Brain. 240x240. Image covers 240 mm x 240 mm.
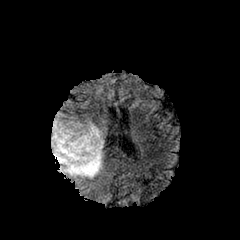
FLAIR MR image.
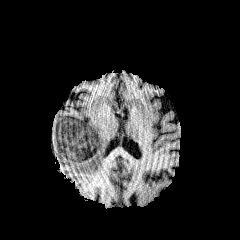
T1-weighted MR image.
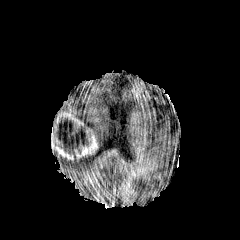
Post-contrast T1-weighted MRI of the same slice.
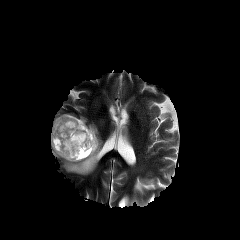
T2-weighted magnetic resonance of the same slice.
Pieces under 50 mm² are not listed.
The largest necrotic tumor core region appears at {"x1": 54, "y1": 119, "x2": 88, "y2": 158}. The largest peritumoral edema region lies within {"x1": 52, "y1": 121, "x2": 104, "y2": 178}. The enhancing tumor is bounded by {"x1": 51, "y1": 113, "x2": 98, "y2": 161}.